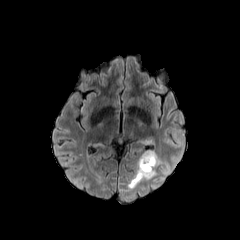
FLAIR MRI.
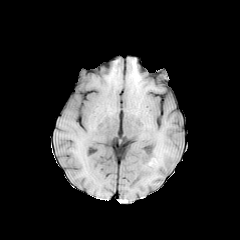
Same slice, T1-weighted magnetic resonance.
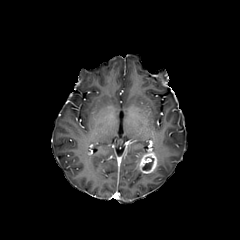
Post-contrast T1-weighted MR of the same slice.
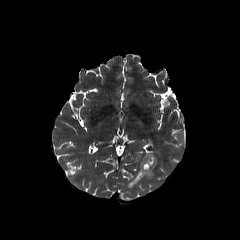
T2-weighted MR image.
Brain
Findings:
* peritumoral edema: 127,163,156,188; 143,150,162,165
* necrotic tumor core: 142,158,153,170
* enhancing tumor: 138,151,157,174